FLAIR MR.
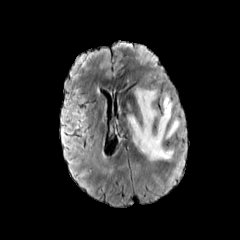
T1-weighted MR image.
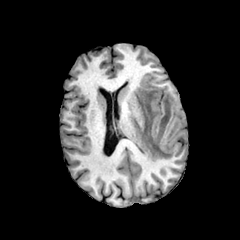
Post-contrast T1-weighted MR image.
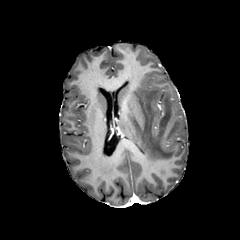
T2-weighted MRI.
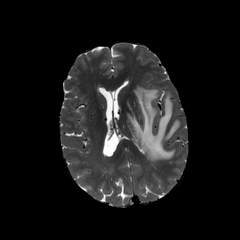
240x240 px; Brain
<segmentation>
  <peritumoral_edema>region(127, 87, 180, 161)</peritumoral_edema>
</segmentation>